FLAIR magnetic resonance.
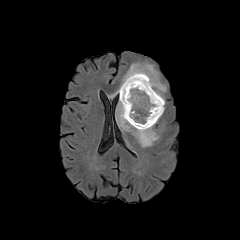
T1-weighted MR.
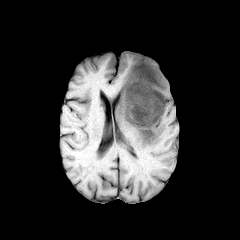
Post-contrast T1-weighted MR.
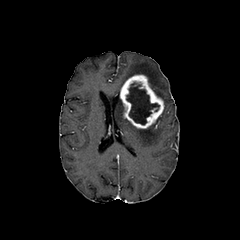
T2-weighted MRI.
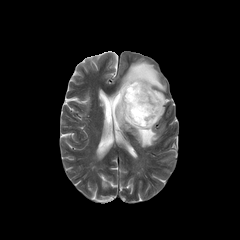
Head | 240x240 px
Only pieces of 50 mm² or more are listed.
Annotated regions:
- peritumoral edema: <box>108,61,166,104</box>, <box>116,99,159,147</box>
- necrotic tumor core: <box>126,82,159,124</box>
- enhancing tumor: <box>120,74,164,128</box>